Slice 72 of 155 | 240x240 px | Axial slice | Brain
FLAIR MRI.
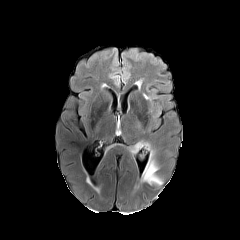
T1-weighted magnetic resonance.
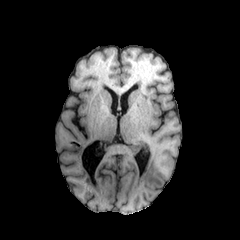
Post-contrast T1-weighted MRI.
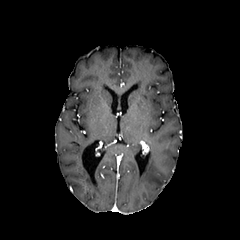
T2-weighted MRI.
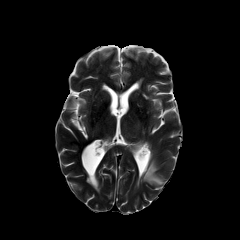
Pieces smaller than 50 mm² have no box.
peritumoral edema = l=142, t=160, r=162, b=185